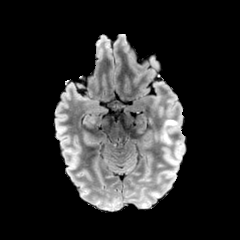
FLAIR MR image.
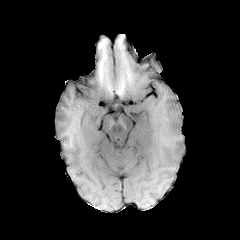
Same slice, T1-weighted MR.
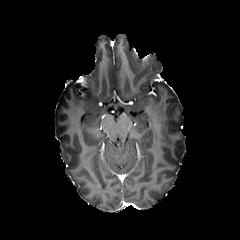
Post-contrast T1-weighted MR image of the same slice.
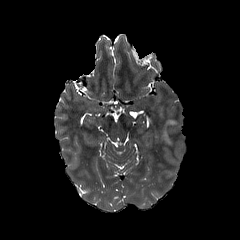
T2-weighted magnetic resonance of the same slice.
240x240 px.
The peritumoral edema is at 161:119:179:145.